FLAIR MR.
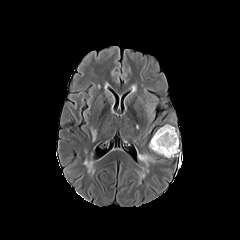
T1-weighted MRI.
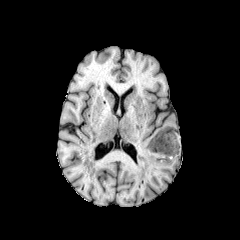
Post-contrast T1-weighted MR.
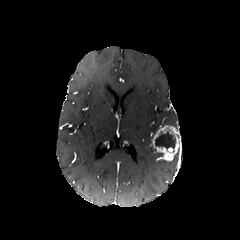
T2-weighted magnetic resonance.
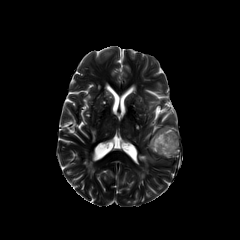
Axial plane. Head.
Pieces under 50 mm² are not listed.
{
  "peritumoral_edema": [
    {"x1": 138, "y1": 154, "x2": 154, "y2": 165}
  ],
  "enhancing_tumor": [
    {"x1": 150, "y1": 125, "x2": 180, "y2": 160}
  ],
  "necrotic_tumor_core": [
    {"x1": 155, "y1": 131, "x2": 175, "y2": 148}
  ]
}